240x240 px | Brain | Axial plane | Slice 114/155
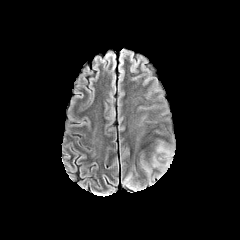
FLAIR magnetic resonance.
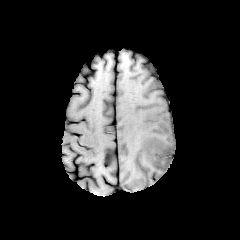
T1-weighted magnetic resonance.
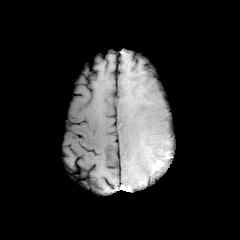
Post-contrast T1-weighted magnetic resonance.
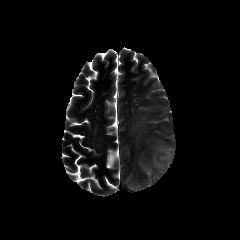
Same slice, T2-weighted magnetic resonance.
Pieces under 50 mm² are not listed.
<segmentation>
  <peritumoral_edema>[x1=153, y1=147, x2=172, y2=169]</peritumoral_edema>
  <enhancing_tumor>[x1=156, y1=160, x2=164, y2=168]</enhancing_tumor>
</segmentation>